FLAIR MR image.
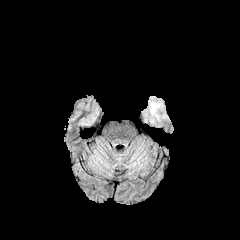
T1-weighted MR.
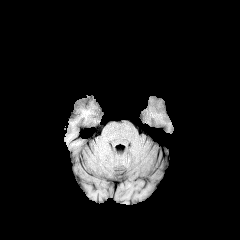
Post-contrast T1-weighted magnetic resonance.
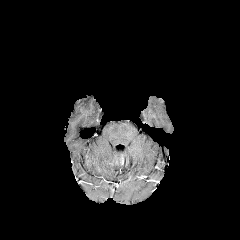
T2-weighted MR image.
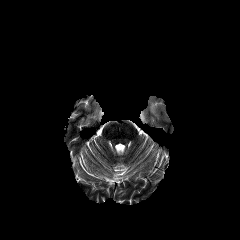
peritumoral edema: l=149, t=96, r=162, b=119